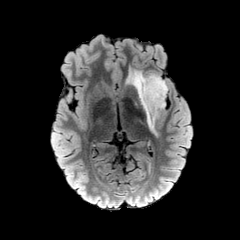
FLAIR MR image.
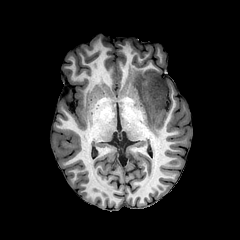
Same slice, T1-weighted MR image.
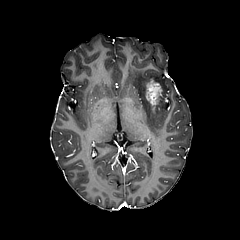
Same slice, post-contrast T1-weighted MR.
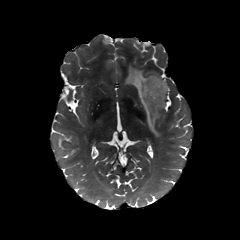
T2-weighted MR image.
The enhancing tumor is located at <box>145,79,162,112</box>. The peritumoral edema is bounded by <box>126,67,167,134</box>.